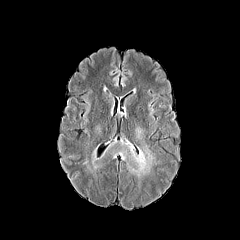
FLAIR MRI.
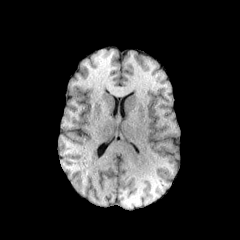
Same slice, T1-weighted magnetic resonance.
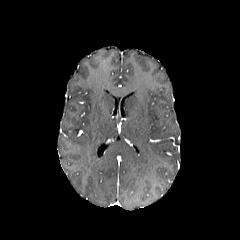
Post-contrast T1-weighted MRI.
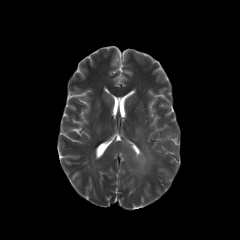
T2-weighted MR image.
peritumoral edema = 134,127,144,142; 86,150,102,173; 107,140,155,176